FLAIR MR image.
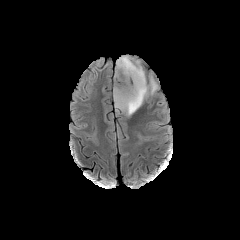
T1-weighted magnetic resonance.
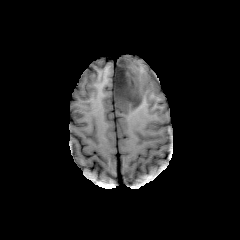
Post-contrast T1-weighted MR image.
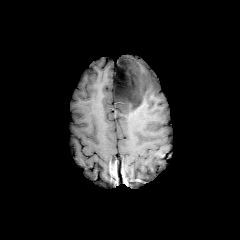
T2-weighted MR image.
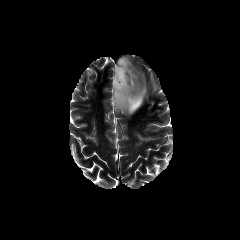
240x240 px, Head, Axial plane
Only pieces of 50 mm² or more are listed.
peritumoral edema = {"x1": 115, "y1": 55, "x2": 158, "y2": 116}
necrotic tumor core = {"x1": 113, "y1": 58, "x2": 140, "y2": 108}